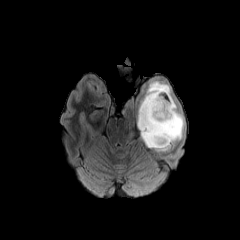
FLAIR magnetic resonance.
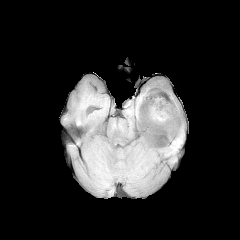
Same slice, T1-weighted MRI.
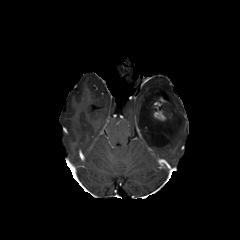
Post-contrast T1-weighted magnetic resonance of the same slice.
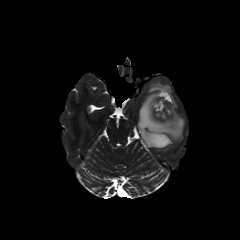
T2-weighted MRI.
Brain
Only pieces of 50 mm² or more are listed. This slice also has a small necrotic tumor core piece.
The peritumoral edema appears at x1=137, y1=82, x2=184, y2=151. The enhancing tumor is bounded by x1=146, y1=96, x2=171, y2=121.